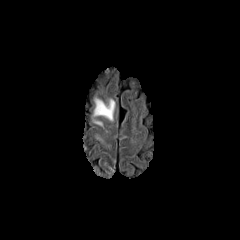
FLAIR MRI.
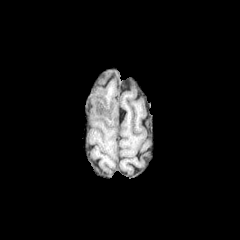
T1-weighted MR image.
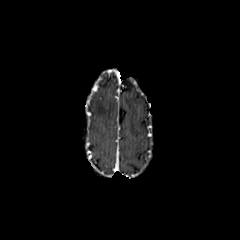
Post-contrast T1-weighted MR.
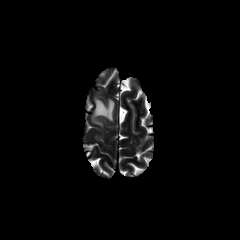
T2-weighted MRI.
Axial plane
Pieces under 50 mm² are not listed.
{"peritumoral_edema": ["[94, 98, 114, 120]"]}